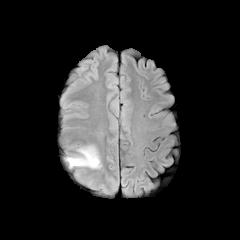
FLAIR MR.
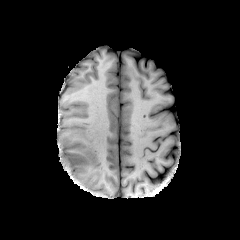
T1-weighted MR.
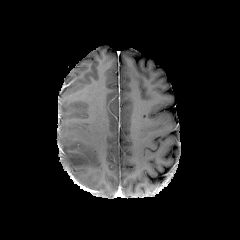
Post-contrast T1-weighted MRI of the same slice.
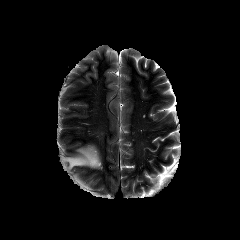
T2-weighted magnetic resonance.
Brain; Axial view; 240x240 px
peritumoral_edema:
  - [x1=65, y1=145, x2=101, y2=168]